240x240 | Head | Image covers 240 mm x 240 mm
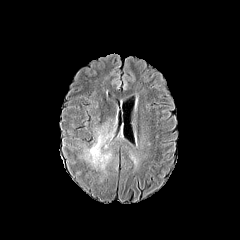
FLAIR MR image.
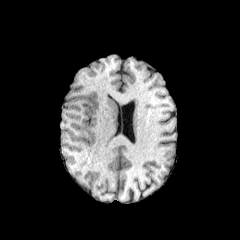
T1-weighted MR image of the same slice.
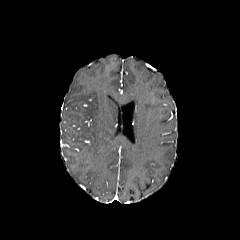
Same slice, post-contrast T1-weighted magnetic resonance.
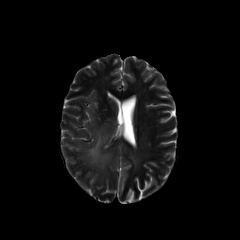
Same slice, T2-weighted MR image.
peritumoral edema = bbox=[84, 123, 113, 170]